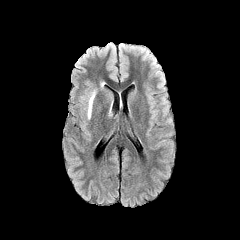
FLAIR MRI.
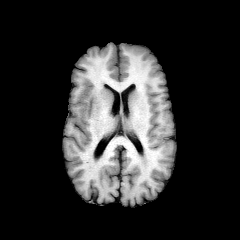
T1-weighted MRI.
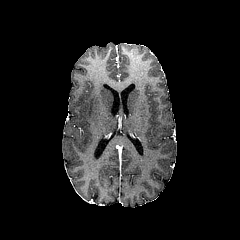
Post-contrast T1-weighted MR image of the same slice.
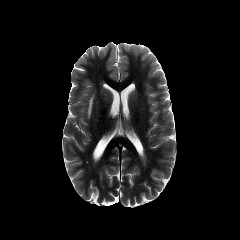
T2-weighted MR image.
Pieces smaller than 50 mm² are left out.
peritumoral edema — {"x1": 80, "y1": 90, "x2": 96, "y2": 119}